FLAIR MR.
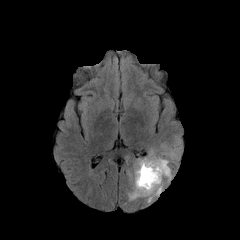
T1-weighted MR image.
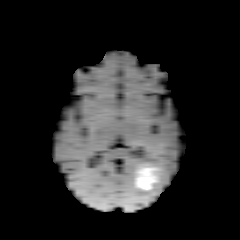
Post-contrast T1-weighted MR image.
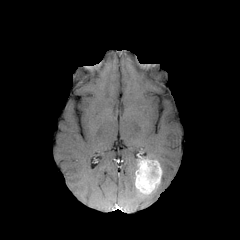
T2-weighted magnetic resonance.
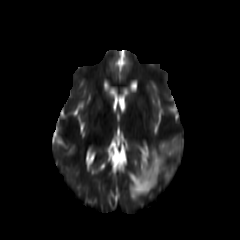
Head; Axial plane
{
  "peritumoral_edema": [
    "128 136 182 202"
  ],
  "enhancing_tumor": [
    "135 157 162 195"
  ]
}